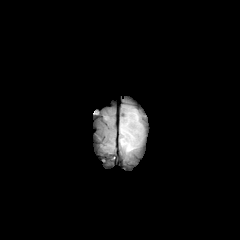
FLAIR MR image.
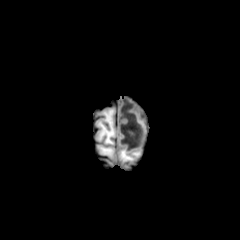
T1-weighted MR.
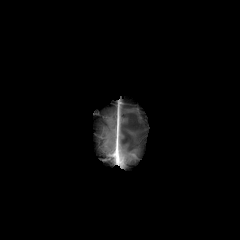
Post-contrast T1-weighted magnetic resonance of the same slice.
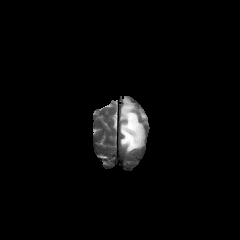
T2-weighted MRI of the same slice.
240x240 px. Brain.
peritumoral edema: bbox(121, 110, 141, 151)